FLAIR MR.
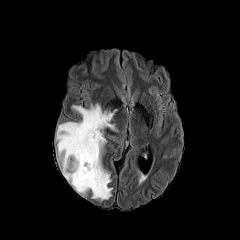
T1-weighted MRI.
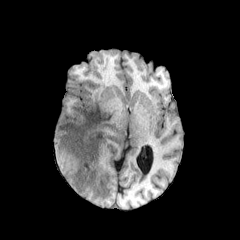
Post-contrast T1-weighted MRI.
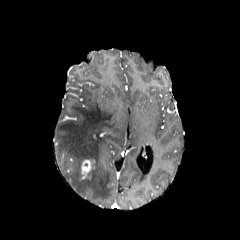
T2-weighted MRI.
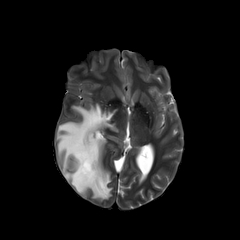
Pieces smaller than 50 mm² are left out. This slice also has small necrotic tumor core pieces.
peritumoral edema at region(56, 104, 116, 200)
enhancing tumor at region(81, 160, 94, 179)